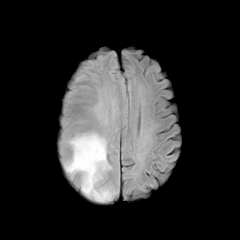
FLAIR MR.
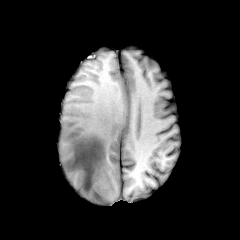
Same slice, T1-weighted MRI.
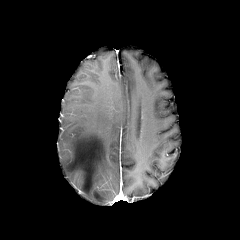
Same slice, post-contrast T1-weighted MRI.
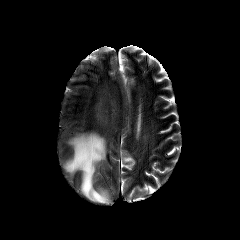
T2-weighted MR.
Image size 240x240, Head
The peritumoral edema is at {"x1": 64, "y1": 132, "x2": 113, "y2": 202}.